Head
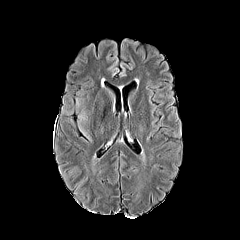
FLAIR MR image.
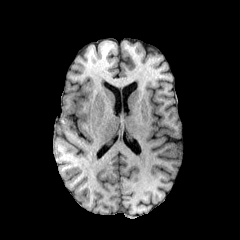
Same slice, T1-weighted MRI.
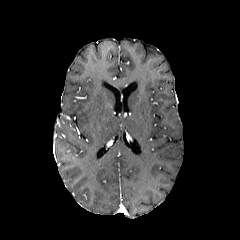
Same slice, post-contrast T1-weighted MRI.
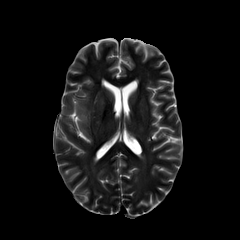
T2-weighted MR of the same slice.
The peritumoral edema is bounded by <bbox>77, 111, 92, 141</bbox>.